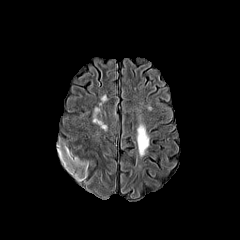
FLAIR MRI.
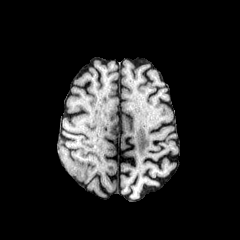
T1-weighted MR of the same slice.
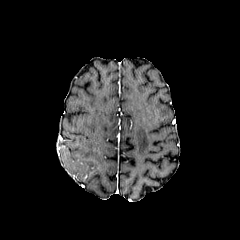
Post-contrast T1-weighted MR.
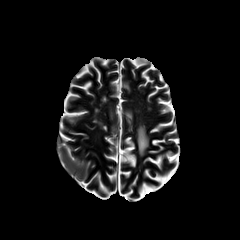
T2-weighted MR image of the same slice.
Head, 240x240 px
• peritumoral edema: <box>59,149,89,181</box>